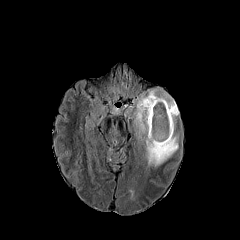
FLAIR MR image.
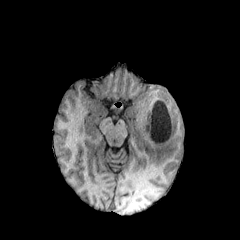
T1-weighted magnetic resonance.
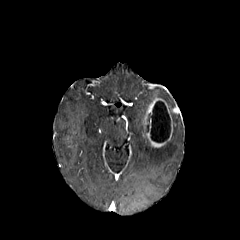
Post-contrast T1-weighted MR image of the same slice.
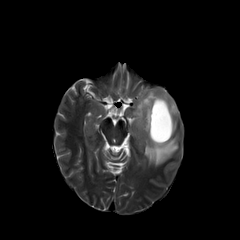
Same slice, T2-weighted MR.
Axial plane. Image size 240x240.
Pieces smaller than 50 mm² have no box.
enhancing_tumor:
  - bbox(142, 97, 178, 147)
peritumoral_edema:
  - bbox(133, 89, 176, 138)
  - bbox(143, 114, 178, 166)
necrotic_tumor_core:
  - bbox(147, 101, 170, 142)